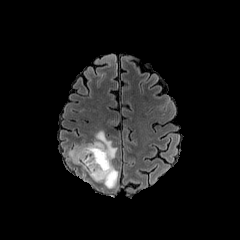
FLAIR MR.
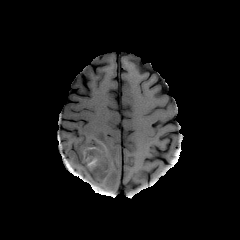
Same slice, T1-weighted magnetic resonance.
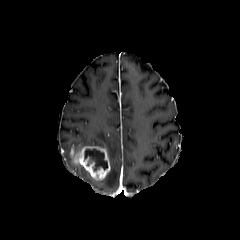
Post-contrast T1-weighted magnetic resonance.
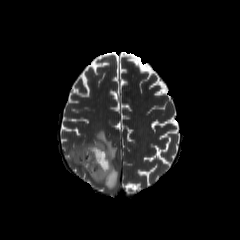
T2-weighted MR image.
240x240 px | Axial view
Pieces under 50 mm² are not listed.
{"enhancing_tumor": ["l=70, t=146, r=110, b=180"], "necrotic_tumor_core": ["l=84, t=149, r=107, b=170"], "peritumoral_edema": ["l=72, t=130, r=118, b=187"]}